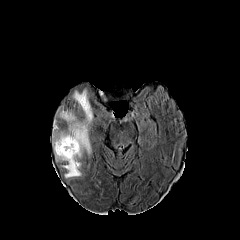
FLAIR MR.
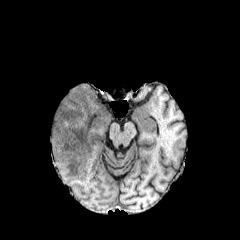
Same slice, T1-weighted MRI.
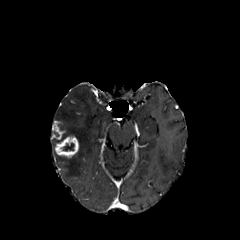
Post-contrast T1-weighted MR image.
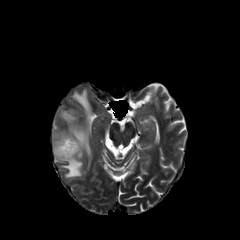
T2-weighted MR image of the same slice.
Head, 240x240 px
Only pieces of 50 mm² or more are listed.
peritumoral edema: l=53, t=89, r=92, b=177 | necrotic tumor core: l=62, t=143, r=74, b=150 | enhancing tumor: l=54, t=135, r=78, b=158